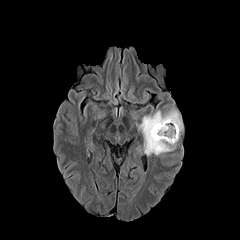
FLAIR MRI.
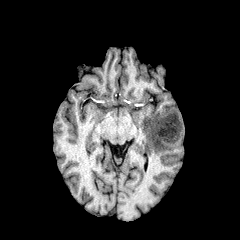
Same slice, T1-weighted MRI.
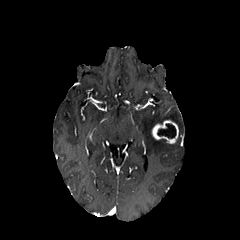
Post-contrast T1-weighted magnetic resonance.
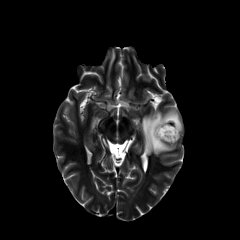
T2-weighted MRI.
Axial slice. Brain.
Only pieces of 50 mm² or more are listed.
<segmentation>
  <enhancing_tumor>(x1=152, y1=120, x2=178, y2=143)</enhancing_tumor>
  <peritumoral_edema>(x1=139, y1=108, x2=183, y2=155)</peritumoral_edema>
  <necrotic_tumor_core>(x1=157, y1=123, x2=176, y2=138)</necrotic_tumor_core>
</segmentation>